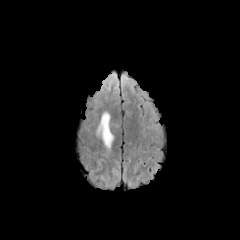
FLAIR MR.
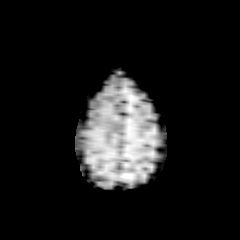
T1-weighted MR image of the same slice.
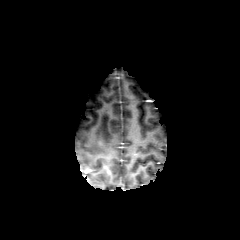
Post-contrast T1-weighted magnetic resonance.
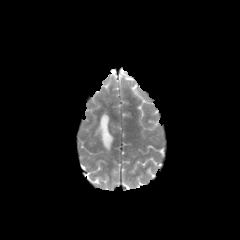
T2-weighted MR.
240x240 | Axial view | Brain
{"peritumoral_edema": ["(96, 112, 113, 150)"]}